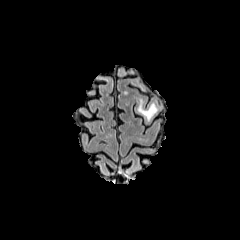
FLAIR magnetic resonance.
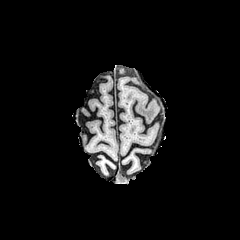
Same slice, T1-weighted magnetic resonance.
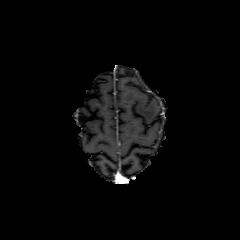
Post-contrast T1-weighted MRI.
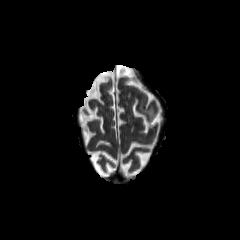
T2-weighted magnetic resonance.
Image size 240x240. Axial slice.
The peritumoral edema is bounded by rect(138, 100, 158, 120).